FLAIR magnetic resonance.
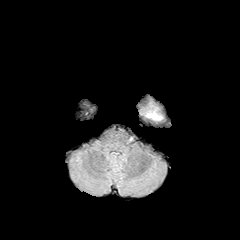
T1-weighted MR.
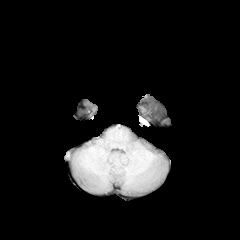
Post-contrast T1-weighted magnetic resonance.
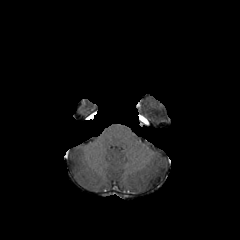
T2-weighted MR.
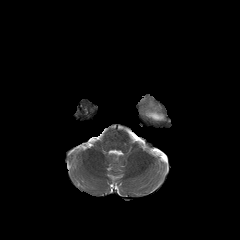
Head
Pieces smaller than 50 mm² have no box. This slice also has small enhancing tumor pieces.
<segmentation>
  <necrotic_tumor_core>rect(153, 105, 161, 115)</necrotic_tumor_core>
  <peritumoral_edema>rect(145, 105, 163, 120)</peritumoral_edema>
</segmentation>